Head
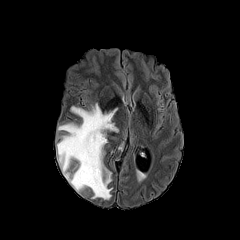
FLAIR MRI.
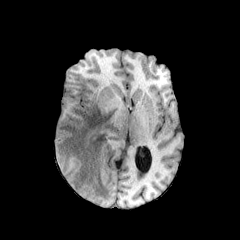
T1-weighted MR image of the same slice.
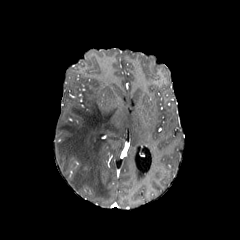
Post-contrast T1-weighted MRI.
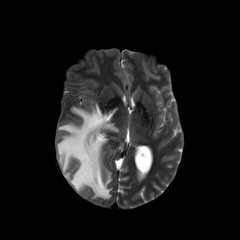
T2-weighted MRI of the same slice.
• peritumoral edema: (57,103,118,199)